FLAIR MR.
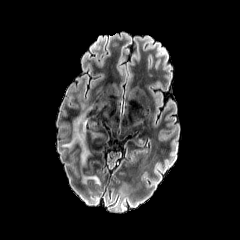
T1-weighted MR image.
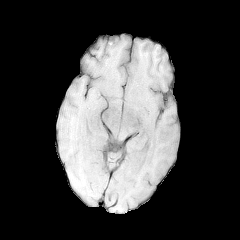
Post-contrast T1-weighted MRI.
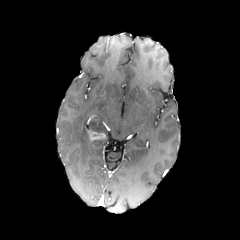
T2-weighted MRI.
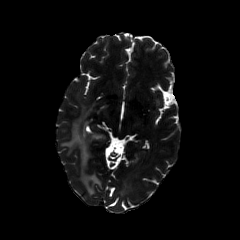
240x240 px. Brain. Axial plane.
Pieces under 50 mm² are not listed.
Annotated regions:
* enhancing tumor: {"x1": 90, "y1": 132, "x2": 105, "y2": 140}
* peritumoral edema: {"x1": 63, "y1": 107, "x2": 91, "y2": 164}